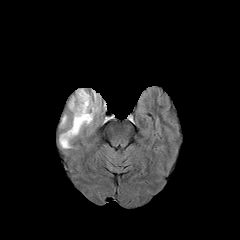
FLAIR MR.
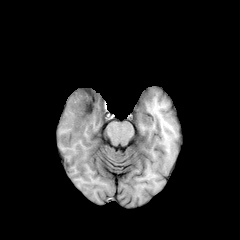
T1-weighted MRI.
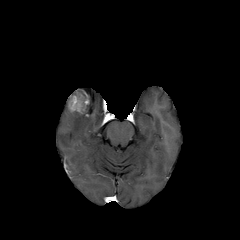
Post-contrast T1-weighted magnetic resonance.
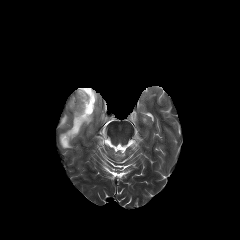
T2-weighted MR image.
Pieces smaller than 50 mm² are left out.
2 peritumoral edema regions are bounded by region(59, 88, 101, 148); region(60, 115, 68, 127). The largest enhancing tumor region appears at region(68, 89, 89, 116).